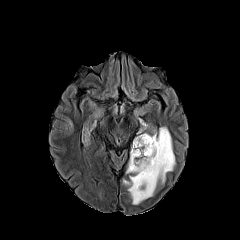
FLAIR MR image.
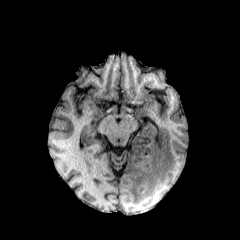
T1-weighted MR.
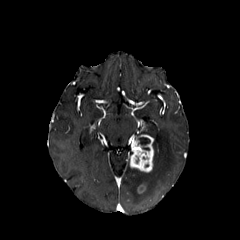
Same slice, post-contrast T1-weighted MR image.
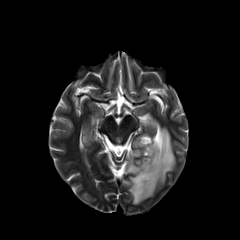
T2-weighted MRI.
Head.
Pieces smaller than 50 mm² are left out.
Annotated regions:
- enhancing tumor: rect(129, 134, 154, 172); rect(137, 185, 145, 193)
- peritumoral edema: rect(123, 127, 175, 204); rect(82, 125, 89, 141)
- necrotic tumor core: rect(138, 137, 150, 145)